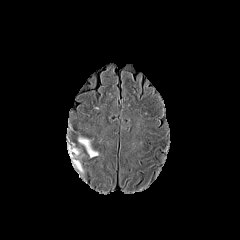
FLAIR MRI.
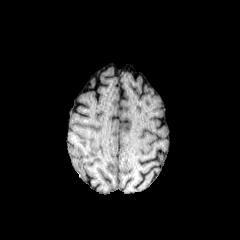
T1-weighted MR image of the same slice.
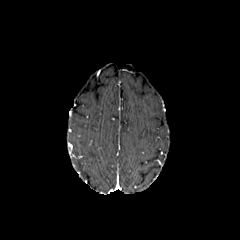
Post-contrast T1-weighted MR.
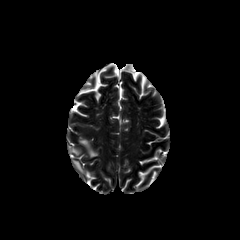
Same slice, T2-weighted MR image.
Head, 240x240, Axial slice
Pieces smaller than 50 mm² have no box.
<segmentation>
  <peritumoral_edema>(x1=79, y1=138, x2=98, y2=157), (x1=73, y1=160, x2=83, y2=172)</peritumoral_edema>
</segmentation>